FLAIR MRI.
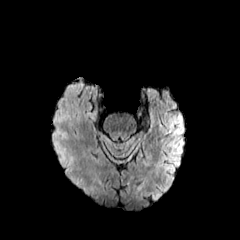
T1-weighted MRI.
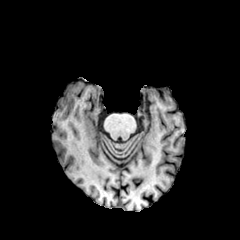
Post-contrast T1-weighted MRI.
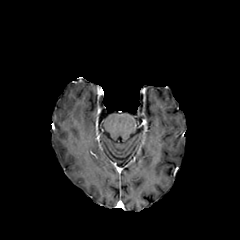
T2-weighted MR.
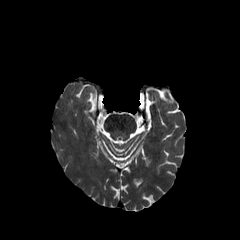
Brain | Axial slice
peritumoral edema: (52,139,83,188)